240x240
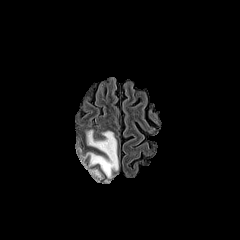
FLAIR MRI.
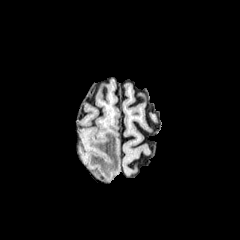
Same slice, T1-weighted MR.
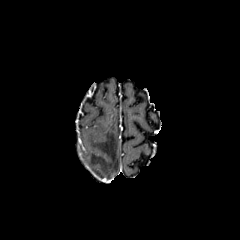
Post-contrast T1-weighted MR.
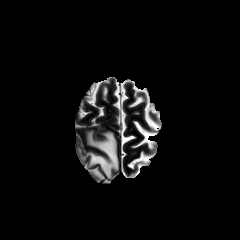
T2-weighted MRI.
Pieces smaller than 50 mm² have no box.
peritumoral edema: [x1=86, y1=130, x2=118, y2=177]